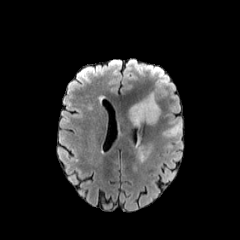
FLAIR MR.
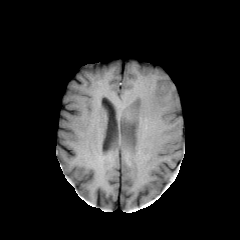
T1-weighted MRI of the same slice.
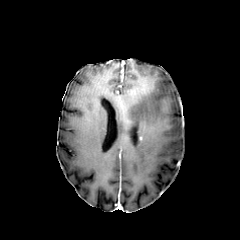
Post-contrast T1-weighted MRI.
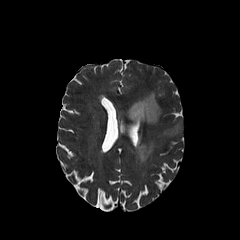
Same slice, T2-weighted magnetic resonance.
peritumoral edema: (left=130, top=93, right=160, bottom=126), (left=136, top=140, right=150, bottom=162)